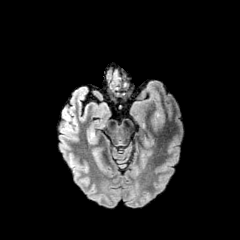
FLAIR magnetic resonance.
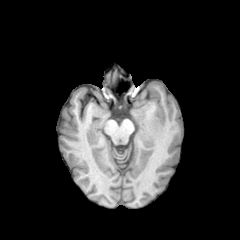
T1-weighted MR image.
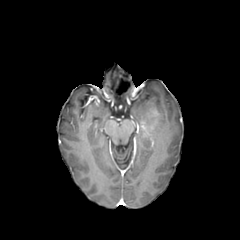
Post-contrast T1-weighted magnetic resonance.
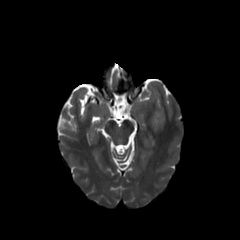
T2-weighted MR of the same slice.
Axial view
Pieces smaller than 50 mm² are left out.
Segmented structures:
* enhancing tumor: bbox=[149, 110, 159, 131]
* peritumoral edema: bbox=[156, 109, 163, 129]